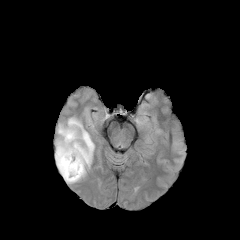
FLAIR magnetic resonance.
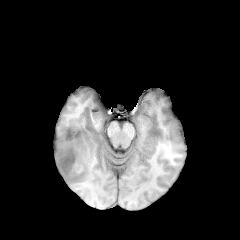
T1-weighted MR image.
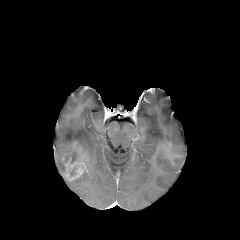
Post-contrast T1-weighted MR image.
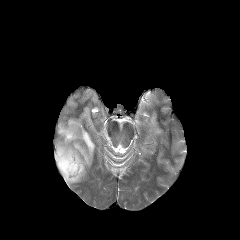
Same slice, T2-weighted MR image.
Axial view; Brain; Image size 240x240
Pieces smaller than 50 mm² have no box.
The enhancing tumor is at <box>61,142,88,181</box>. The largest necrotic tumor core region is at <box>71,150,77,163</box>. The peritumoral edema is bounded by <box>55,118,94,183</box>.